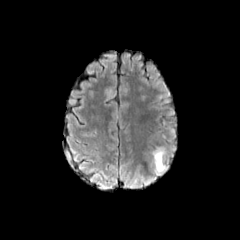
FLAIR magnetic resonance.
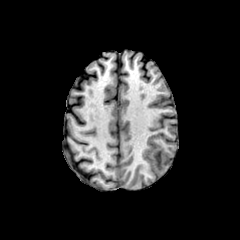
T1-weighted MRI.
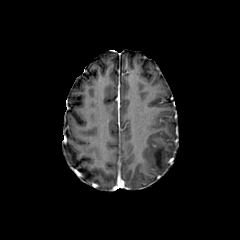
Same slice, post-contrast T1-weighted MR.
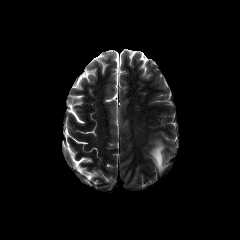
T2-weighted MR of the same slice.
240x240
* peritumoral edema: region(153, 148, 166, 172)